FLAIR MR.
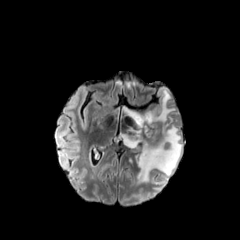
T1-weighted MR image.
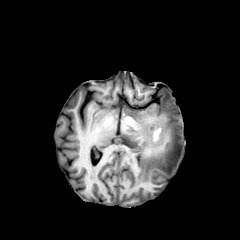
Post-contrast T1-weighted MR image.
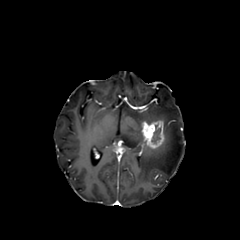
T2-weighted MRI.
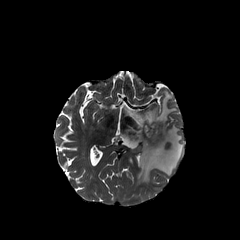
Brain
* peritumoral edema: bbox=[121, 88, 183, 182]
* enhancing tumor: bbox=[141, 119, 165, 151]
* necrotic tumor core: bbox=[152, 125, 160, 142]